Brain. Image covers 240 mm x 240 mm. 240x240.
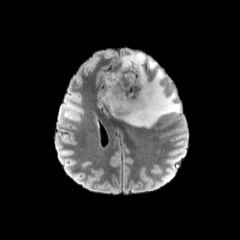
FLAIR magnetic resonance.
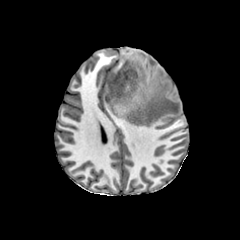
Same slice, T1-weighted MR image.
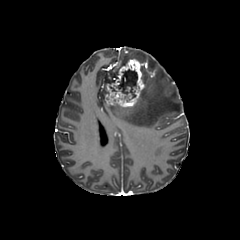
Same slice, post-contrast T1-weighted MRI.
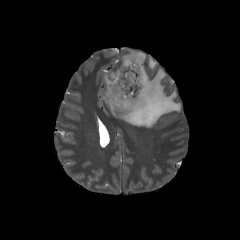
T2-weighted MRI.
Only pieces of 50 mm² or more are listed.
Findings:
- enhancing tumor: x1=105 y1=59 x2=145 y2=107
- necrotic tumor core: x1=117 y1=69 x2=137 y2=97
- peritumoral edema: x1=121 y1=50 x2=146 y2=65, x1=148 y1=58 x2=156 y2=70, x1=109 y1=65 x2=180 y2=127